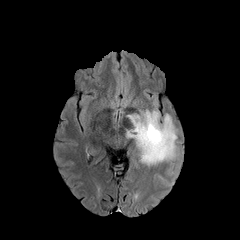
FLAIR magnetic resonance.
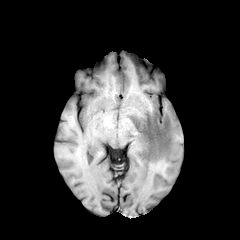
T1-weighted MRI.
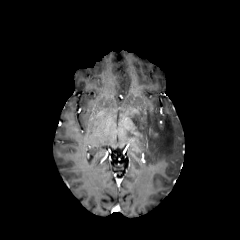
Post-contrast T1-weighted MR image of the same slice.
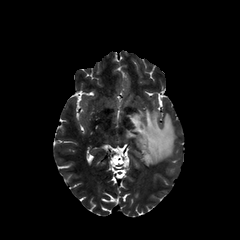
T2-weighted MRI.
Axial view. Head.
peritumoral edema — (127, 110, 176, 165)